Image covers 240 mm x 240 mm, Slice 88/155
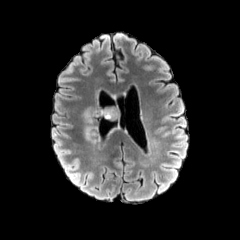
FLAIR MR.
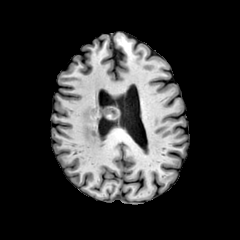
T1-weighted MR.
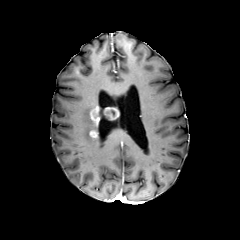
Post-contrast T1-weighted MR image of the same slice.
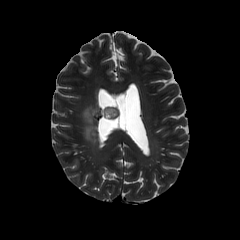
T2-weighted MR.
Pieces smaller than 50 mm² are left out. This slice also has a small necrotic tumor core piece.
The largest peritumoral edema region appears at bbox(83, 101, 98, 142). 3 enhancing tumor regions are located at bbox(90, 106, 100, 125); bbox(103, 107, 119, 120); bbox(89, 130, 98, 138).